Head | Slice 66/155
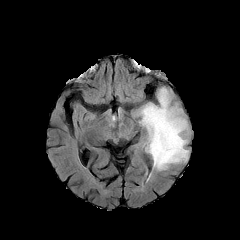
FLAIR MR.
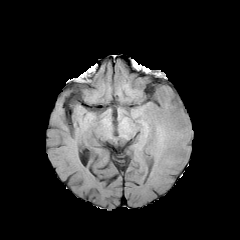
T1-weighted MR.
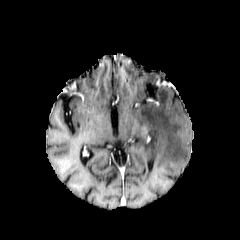
Same slice, post-contrast T1-weighted MR.
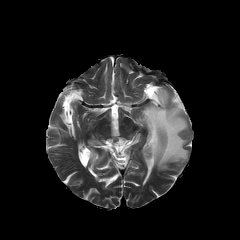
T2-weighted MR image.
{
  "peritumoral_edema": [
    "(138, 87, 188, 170)"
  ]
}